Slice index 92
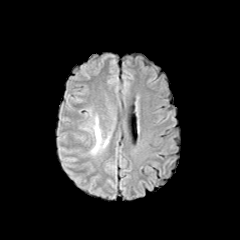
FLAIR MRI.
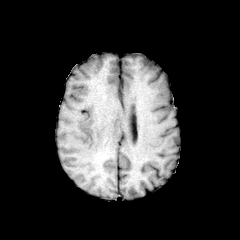
T1-weighted MR of the same slice.
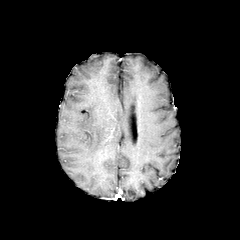
Post-contrast T1-weighted magnetic resonance.
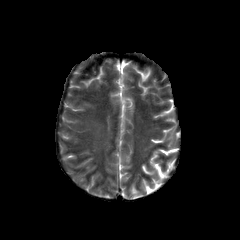
T2-weighted magnetic resonance of the same slice.
{"peritumoral_edema": ["x1=91, y1=117, x2=108, y2=153"]}